FLAIR MRI.
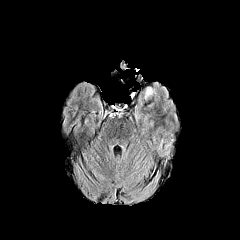
T1-weighted MR.
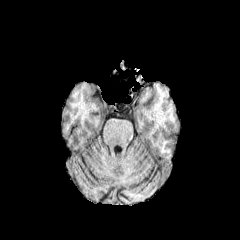
Post-contrast T1-weighted MRI.
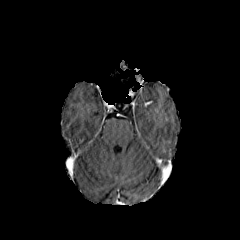
T2-weighted MR image.
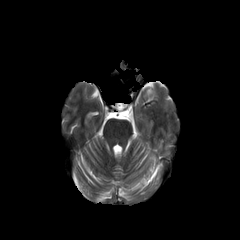
Brain. 240x240 px.
peritumoral edema: {"x1": 143, "y1": 86, "x2": 153, "y2": 99}